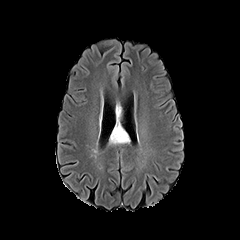
FLAIR MRI.
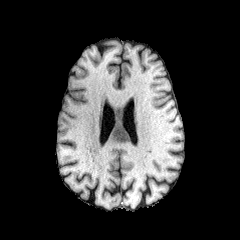
T1-weighted magnetic resonance of the same slice.
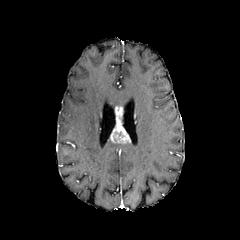
Post-contrast T1-weighted MR of the same slice.
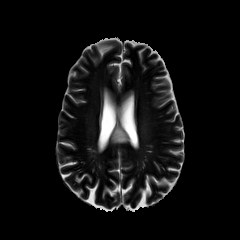
T2-weighted MR.
Image size 240x240. Axial view.
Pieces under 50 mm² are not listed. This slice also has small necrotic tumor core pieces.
peritumoral_edema:
  - (116, 105, 121, 122)
enhancing_tumor:
  - (110, 120, 129, 143)